FLAIR MR.
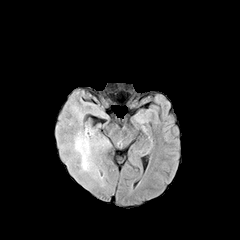
T1-weighted MR.
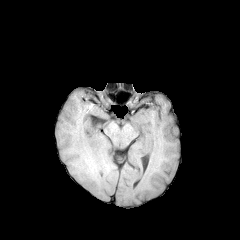
Post-contrast T1-weighted MR.
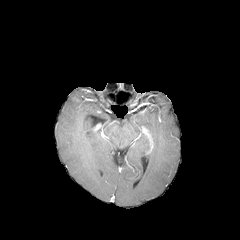
T2-weighted MR.
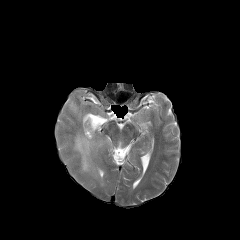
{
  "peritumoral_edema": [
    {"x1": 73, "y1": 124, "x2": 107, "y2": 185},
    {"x1": 71, "y1": 104, "x2": 83, "y2": 124}
  ]
}